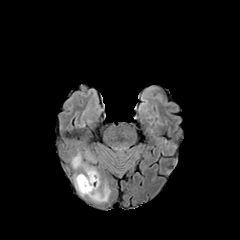
FLAIR MRI.
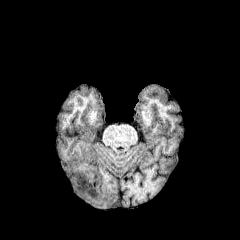
T1-weighted magnetic resonance.
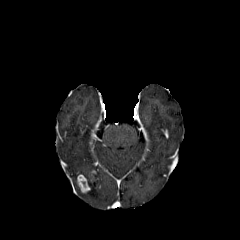
Post-contrast T1-weighted MR image of the same slice.
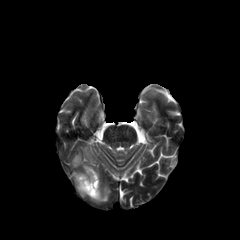
T2-weighted MRI of the same slice.
Brain
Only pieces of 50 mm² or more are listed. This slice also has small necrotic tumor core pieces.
peritumoral edema — (left=72, top=153, right=81, bottom=168), (left=74, top=165, right=110, bottom=202)
enhancing tumor — (left=77, top=174, right=91, bottom=193)